240x240 | Head | Slice index 53 | Axial slice
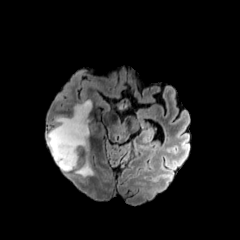
FLAIR MRI.
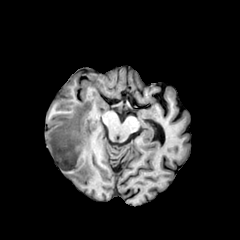
T1-weighted MRI.
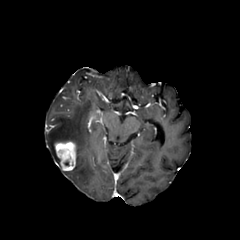
Same slice, post-contrast T1-weighted MR.
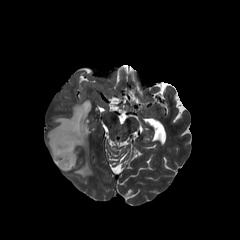
Same slice, T2-weighted MRI.
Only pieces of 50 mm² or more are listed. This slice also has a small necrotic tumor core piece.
The enhancing tumor appears at (54, 141, 76, 170). The 2 largest peritumoral edema regions are bounded by (47, 100, 91, 162), (75, 160, 93, 177).